Slice 121/155, Axial plane
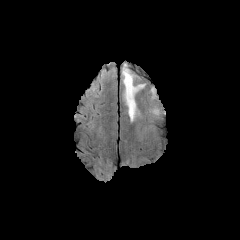
FLAIR MRI.
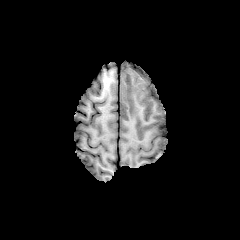
T1-weighted MR of the same slice.
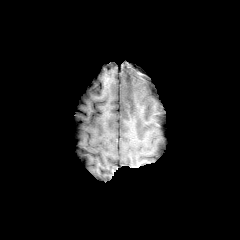
Post-contrast T1-weighted MR.
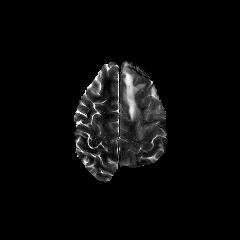
T2-weighted MR.
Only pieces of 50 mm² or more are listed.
Segmented structures:
• peritumoral edema: 122,63,144,120